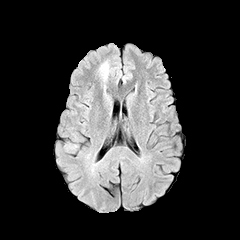
FLAIR MRI.
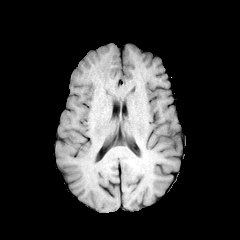
T1-weighted MR image.
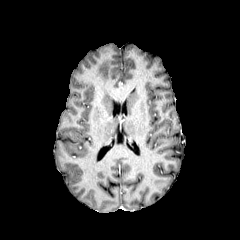
Post-contrast T1-weighted MRI.
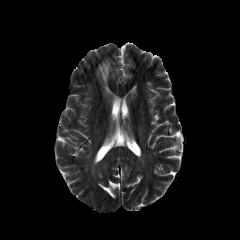
T2-weighted MRI of the same slice.
Head
peritumoral edema at left=99, top=61, right=109, bottom=81